FLAIR magnetic resonance.
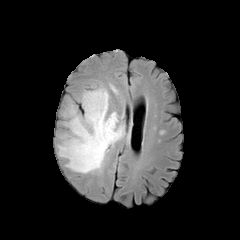
T1-weighted MRI.
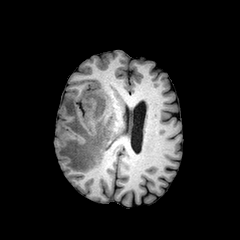
Post-contrast T1-weighted MR image.
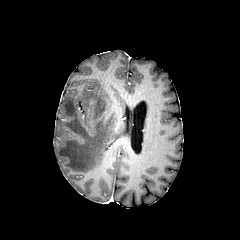
T2-weighted MRI.
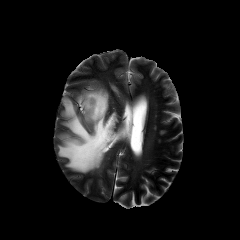
Brain, Image size 240x240
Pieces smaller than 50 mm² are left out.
peritumoral edema at 58, 85, 125, 173